FLAIR MRI.
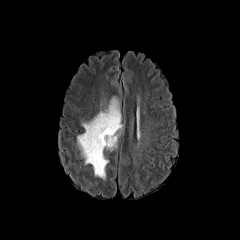
T1-weighted MR.
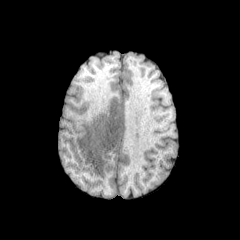
Post-contrast T1-weighted MRI.
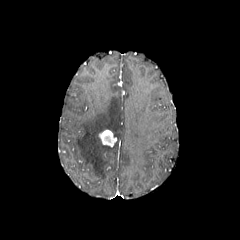
T2-weighted MRI.
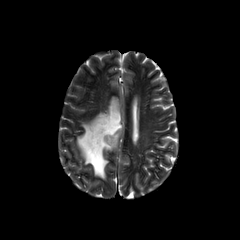
Axial view
The enhancing tumor is at box(99, 129, 116, 147). The peritumoral edema is located at box(77, 97, 122, 179).